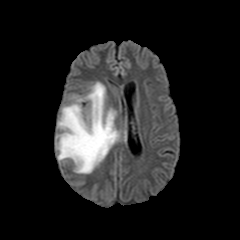
FLAIR MR image.
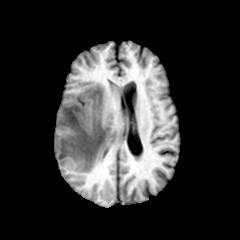
T1-weighted MRI.
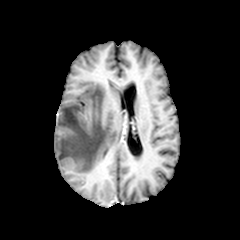
Post-contrast T1-weighted magnetic resonance.
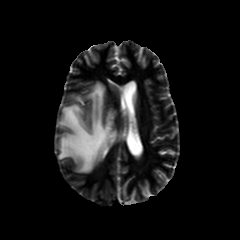
T2-weighted MRI.
240x240; Brain
The peritumoral edema is bounded by (56, 82, 120, 173).